Brain, Image width 240 mm, 1.00 mm slice spacing
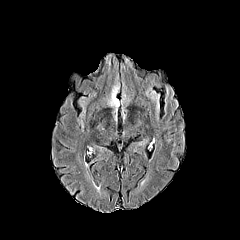
FLAIR MR image.
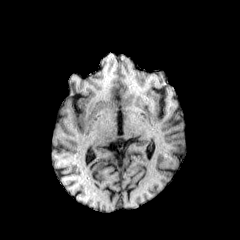
Same slice, T1-weighted MR.
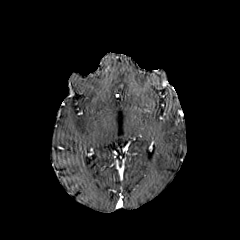
Post-contrast T1-weighted MRI.
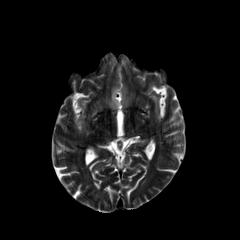
Same slice, T2-weighted MR.
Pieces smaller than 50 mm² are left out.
Findings:
- peritumoral edema: [108,83,119,110]